FLAIR MRI.
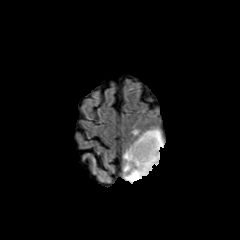
T1-weighted MR image.
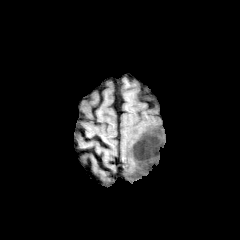
Post-contrast T1-weighted MR.
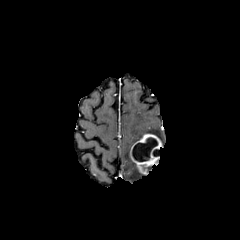
T2-weighted MR image.
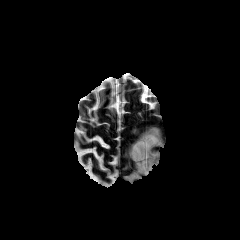
Brain
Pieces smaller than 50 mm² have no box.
<segmentation>
  <peritumoral_edema>region(138, 128, 163, 145); region(123, 145, 146, 182)</peritumoral_edema>
  <necrotic_tumor_core>region(132, 138, 157, 161)</necrotic_tumor_core>
  <enhancing_tumor>region(130, 133, 163, 174)</enhancing_tumor>
</segmentation>